Brain, Axial plane, Image size 240x240
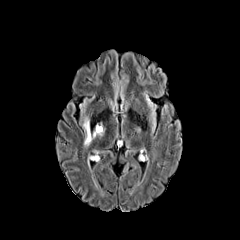
FLAIR MR.
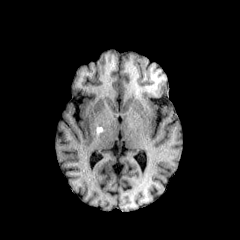
Same slice, T1-weighted magnetic resonance.
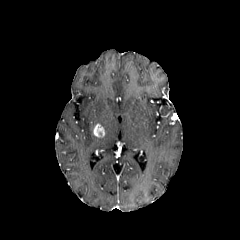
Post-contrast T1-weighted MR.
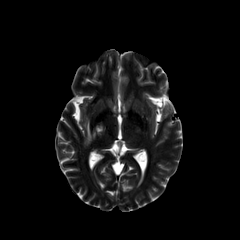
T2-weighted magnetic resonance.
peritumoral edema — (83, 117, 95, 146)
enhancing tumor — (93, 124, 104, 137)